Slice index 28
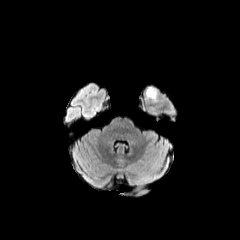
FLAIR MR.
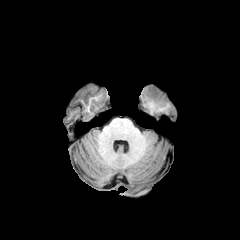
T1-weighted MRI of the same slice.
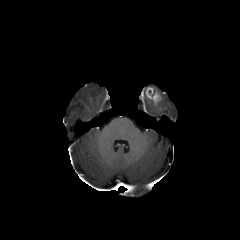
Post-contrast T1-weighted MRI.
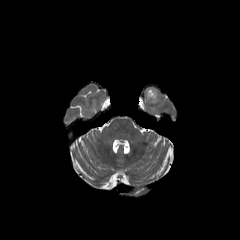
T2-weighted MR image of the same slice.
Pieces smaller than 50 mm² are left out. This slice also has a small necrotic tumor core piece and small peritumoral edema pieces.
<segmentation>
  <enhancing_tumor>(145,87,162,104)</enhancing_tumor>
</segmentation>